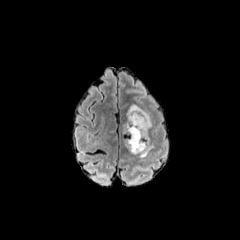
FLAIR magnetic resonance.
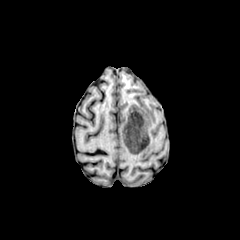
T1-weighted magnetic resonance.
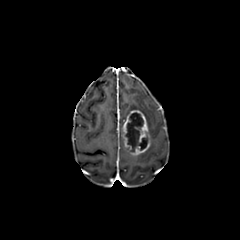
Post-contrast T1-weighted MRI of the same slice.
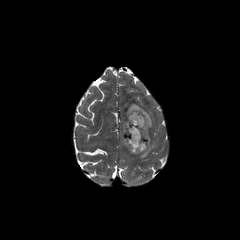
T2-weighted MRI of the same slice.
Head | Axial view | 240x240
{
  "necrotic_tumor_core": [
    "<box>126,112,147,151</box>"
  ],
  "peritumoral_edema": [
    "<box>126,104,152,128</box>",
    "<box>138,143,153,158</box>"
  ],
  "enhancing_tumor": [
    "<box>122,110,150,155</box>"
  ]
}